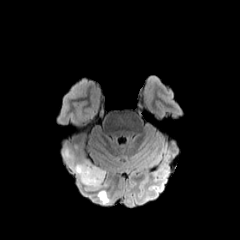
FLAIR magnetic resonance.
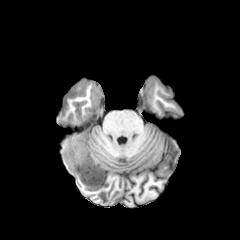
T1-weighted MRI of the same slice.
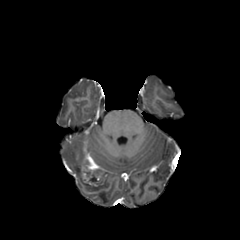
Post-contrast T1-weighted magnetic resonance.
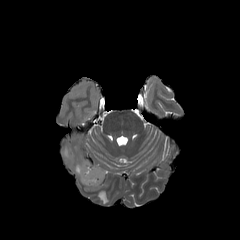
T2-weighted MR image.
Axial slice. Brain.
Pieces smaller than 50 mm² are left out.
- enhancing tumor: region(80, 158, 104, 186)
- necrotic tumor core: region(89, 170, 100, 182)
- peritumoral edema: region(62, 143, 107, 189); region(97, 189, 109, 204)